Slice index 79, Image width 240 mm, 1.00 mm slice spacing, Brain
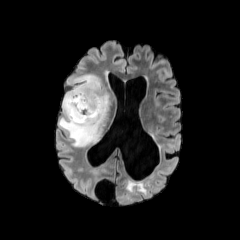
FLAIR MR image.
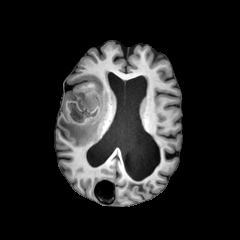
Same slice, T1-weighted MR.
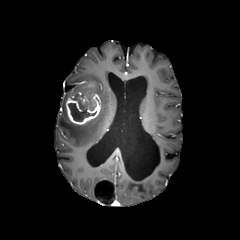
Post-contrast T1-weighted MR.
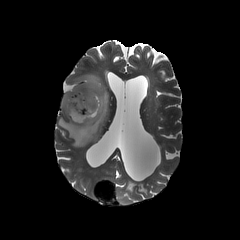
T2-weighted MR image of the same slice.
{"necrotic_tumor_core": ["bbox=[68, 94, 96, 121]"], "enhancing_tumor": ["bbox=[65, 90, 101, 124]"], "peritumoral_edema": ["bbox=[58, 74, 109, 146]"]}